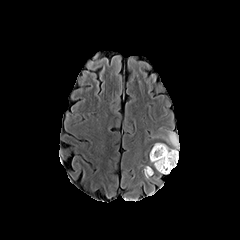
FLAIR MR image.
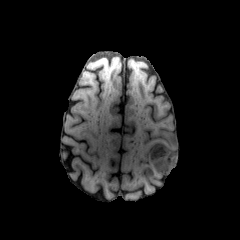
T1-weighted MRI.
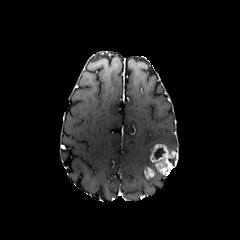
Post-contrast T1-weighted MR image of the same slice.
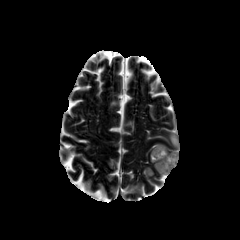
T2-weighted MR image.
Head
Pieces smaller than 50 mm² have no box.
2 enhancing tumor regions are bounded by <box>150,144,178,175</box>, <box>144,167,154,178</box>. The largest necrotic tumor core region is bounded by <box>154,148,165,159</box>. The largest peritumoral edema region appears at <box>166,131,179,149</box>.